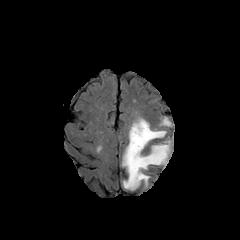
FLAIR MR image.
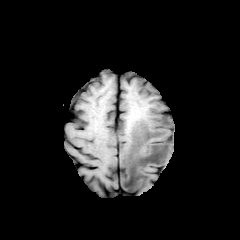
T1-weighted MR image.
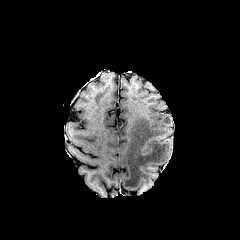
Post-contrast T1-weighted MRI.
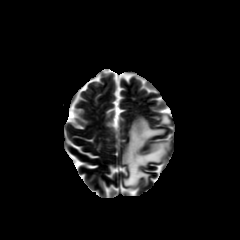
T2-weighted MR.
Brain
peritumoral edema: (left=122, top=117, right=170, bottom=190), (left=160, top=117, right=171, bottom=126)